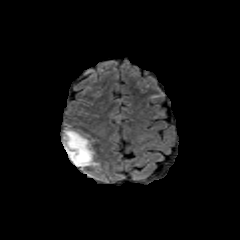
FLAIR MRI.
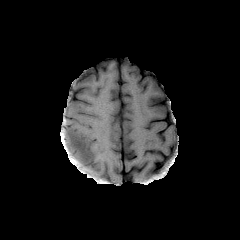
T1-weighted magnetic resonance.
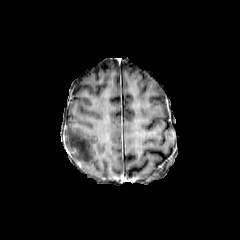
Post-contrast T1-weighted magnetic resonance of the same slice.
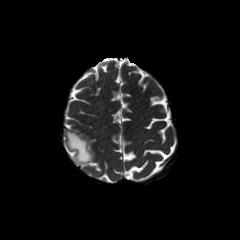
T2-weighted MR of the same slice.
Head. Axial slice.
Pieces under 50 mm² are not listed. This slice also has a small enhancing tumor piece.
Segmented structures:
• peritumoral edema: bbox(64, 128, 97, 169)